FLAIR MR image.
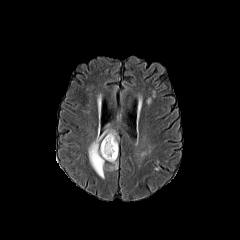
T1-weighted MRI.
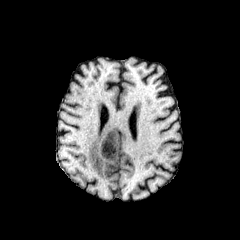
Post-contrast T1-weighted MRI.
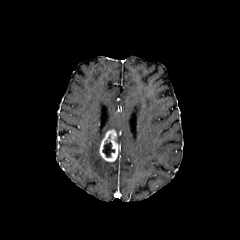
T2-weighted MRI.
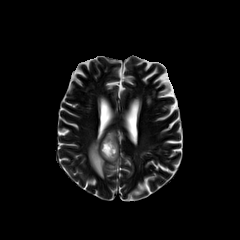
Axial view; Brain
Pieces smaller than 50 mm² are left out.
necrotic tumor core = [x1=102, y1=142, x2=115, y2=157]
enhancing tumor = [x1=99, y1=129, x2=118, y2=161]
peritumoral edema = [x1=88, y1=124, x2=118, y2=178]